FLAIR MRI.
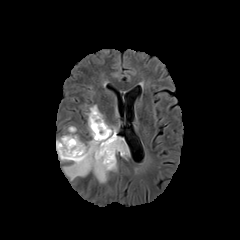
T1-weighted magnetic resonance.
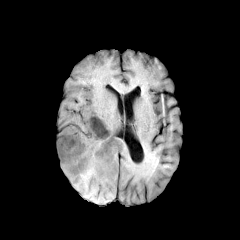
Post-contrast T1-weighted MR image.
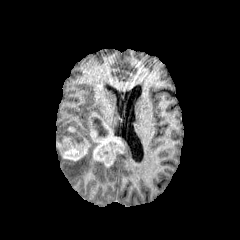
T2-weighted magnetic resonance.
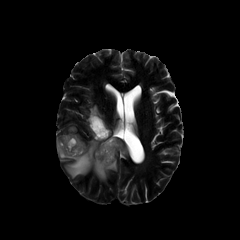
Image size 240x240
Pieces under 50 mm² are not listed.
peritumoral edema: [119,138,129,157], [85,105,104,131], [56,132,117,182]
enhancing tumor: [88,112,121,166], [56,136,90,161]
necrotic tumor core: [93,118,108,137]